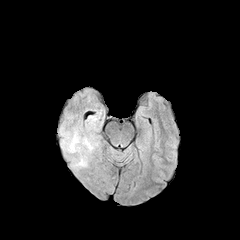
FLAIR MRI.
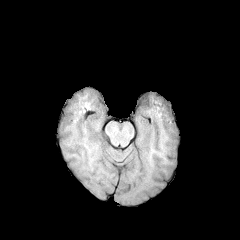
T1-weighted MR of the same slice.
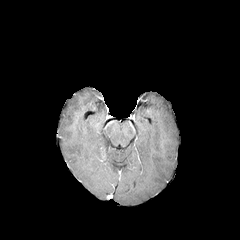
Post-contrast T1-weighted magnetic resonance of the same slice.
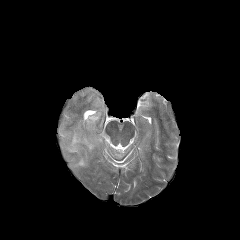
Same slice, T2-weighted magnetic resonance.
Image size 240x240; Head
The peritumoral edema is at <box>59,116,99,167</box>.